Image size 240x240, Head, Slice 90 of 155, Axial plane
FLAIR magnetic resonance.
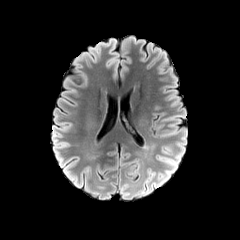
T1-weighted MR image.
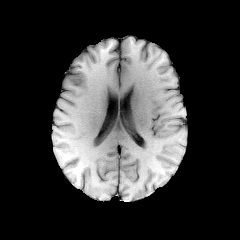
Post-contrast T1-weighted MRI.
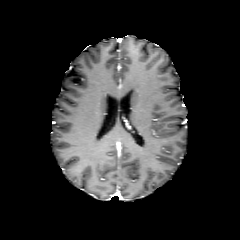
T2-weighted MR image.
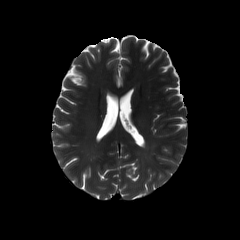
2 peritumoral edema regions are located at 162, 146, 172, 154; 157, 143, 184, 186.